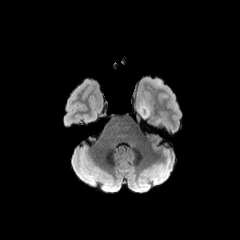
FLAIR MRI.
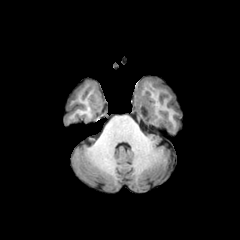
T1-weighted MR image.
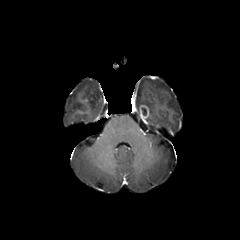
Same slice, post-contrast T1-weighted magnetic resonance.
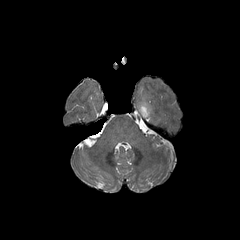
T2-weighted MRI.
Brain
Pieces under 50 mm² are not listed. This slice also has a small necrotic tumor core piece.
<segmentation>
  <peritumoral_edema>[137, 98, 152, 118]</peritumoral_edema>
  <enhancing_tumor>[139, 105, 149, 119]</enhancing_tumor>
</segmentation>